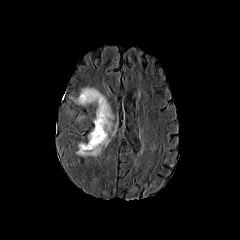
FLAIR MRI.
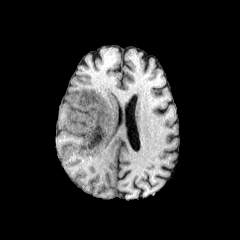
T1-weighted magnetic resonance of the same slice.
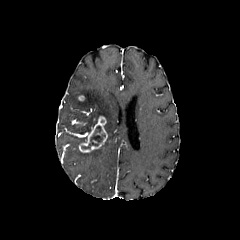
Same slice, post-contrast T1-weighted MR image.
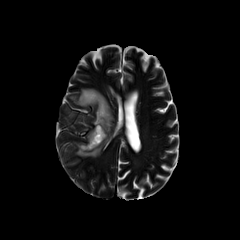
T2-weighted MRI.
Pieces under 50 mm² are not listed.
enhancing tumor = [x1=78, y1=116, x2=107, y2=152]
peritumoral edema = [x1=70, y1=87, x2=114, y2=156]
necrotic tumor core = [x1=81, y1=125, x2=105, y2=149]